Image width 240 mm | Brain | Slice 127/155 | Image size 240x240 | Axial slice
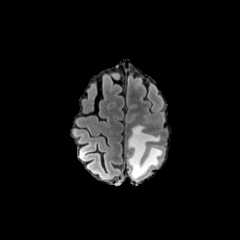
FLAIR MRI.
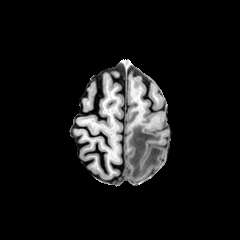
T1-weighted magnetic resonance.
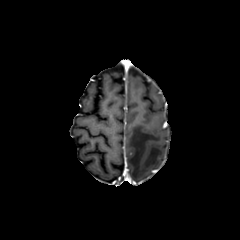
Post-contrast T1-weighted MR image.
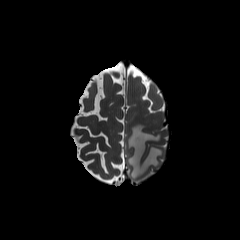
T2-weighted MR image.
peritumoral edema at [x1=127, y1=125, x2=163, y2=181]